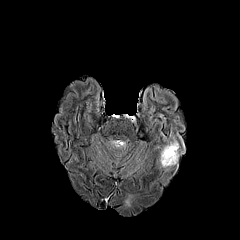
FLAIR MR image.
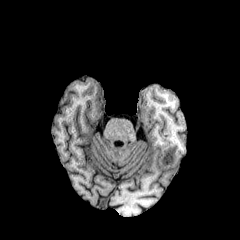
T1-weighted MR.
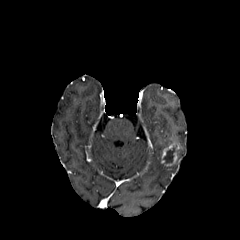
Post-contrast T1-weighted MRI of the same slice.
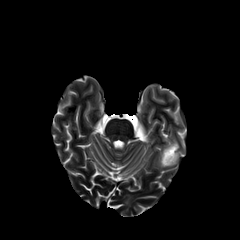
T2-weighted magnetic resonance.
Head | Axial slice
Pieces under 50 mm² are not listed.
enhancing tumor at [161,143,179,166]
necrotic tumor core at [163,145,176,163]
peritumoral edema at [124,196,131,206], [157,159,171,171]